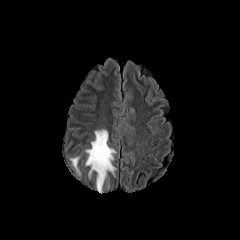
FLAIR magnetic resonance.
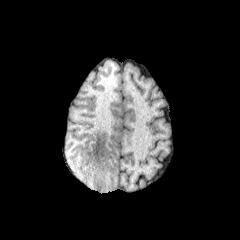
T1-weighted MRI of the same slice.
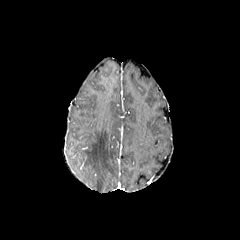
Same slice, post-contrast T1-weighted magnetic resonance.
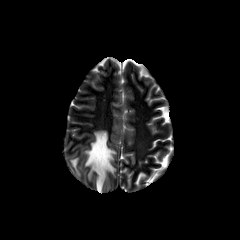
T2-weighted MR of the same slice.
240x240; Brain
peritumoral edema — 71, 157, 79, 173; 85, 129, 116, 192